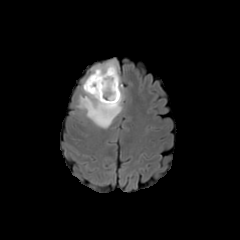
FLAIR MR image.
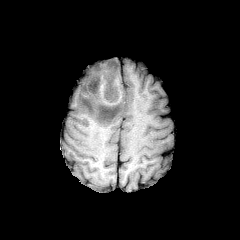
T1-weighted MR image of the same slice.
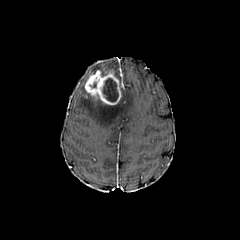
Post-contrast T1-weighted magnetic resonance.
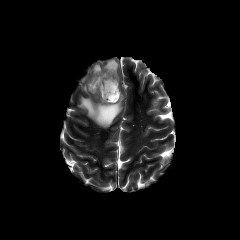
T2-weighted MR.
Brain. Axial view.
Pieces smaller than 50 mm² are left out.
- peritumoral edema: box=[77, 60, 124, 128]
- necrotic tumor core: box=[102, 78, 118, 101]
- enhancing tumor: box=[84, 69, 121, 105]